Axial plane, Image width 240 mm
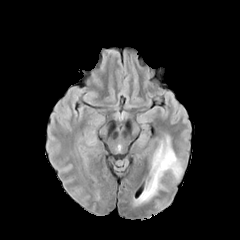
FLAIR MR.
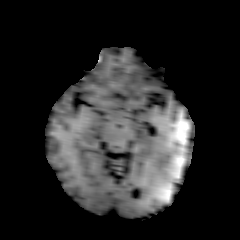
T1-weighted magnetic resonance.
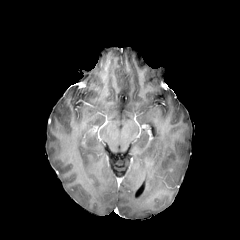
Post-contrast T1-weighted MR.
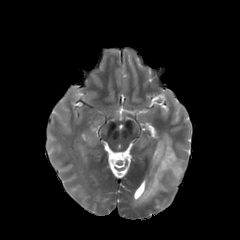
T2-weighted MR.
The peritumoral edema is located at region(135, 135, 182, 205).